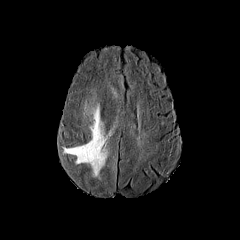
FLAIR magnetic resonance.
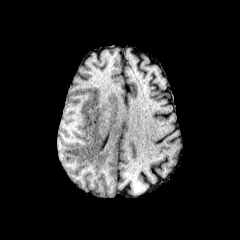
T1-weighted MRI.
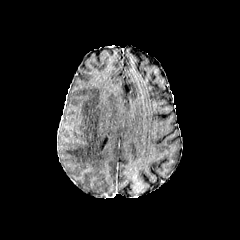
Same slice, post-contrast T1-weighted MRI.
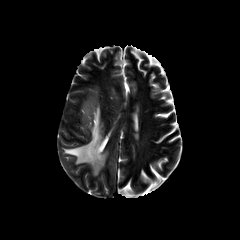
T2-weighted MR image of the same slice.
Image size 240x240; Axial view
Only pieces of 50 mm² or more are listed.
peritumoral edema — [63, 101, 108, 176]